Image covers 240 mm x 240 mm; Axial plane; 240x240; Slice index 38; Head
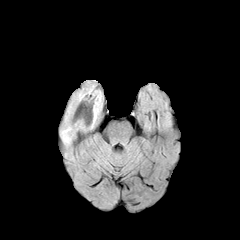
FLAIR MR image.
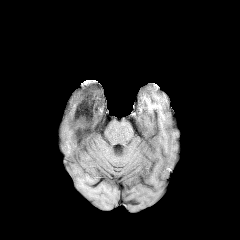
T1-weighted magnetic resonance.
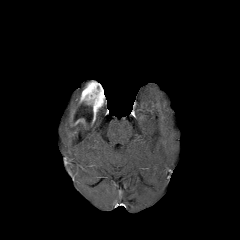
Post-contrast T1-weighted MR image.
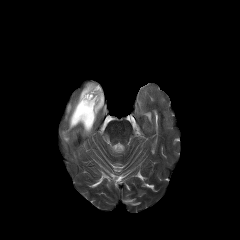
T2-weighted MR of the same slice.
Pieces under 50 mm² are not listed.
<segmentation>
  <peritumoral_edema>l=77, t=125, r=90, b=136; l=61, t=90, r=81, b=144; l=91, t=108, r=101, b=131</peritumoral_edema>
  <necrotic_tumor_core>l=73, t=103, r=92, b=124</necrotic_tumor_core>
  <enhancing_tumor>l=69, t=81, r=104, b=135</enhancing_tumor>
</segmentation>